Brain
FLAIR MR.
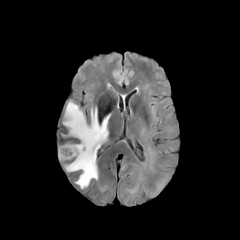
T1-weighted MR.
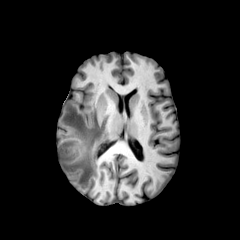
Post-contrast T1-weighted MRI.
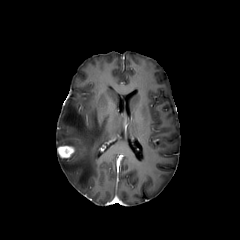
T2-weighted MR.
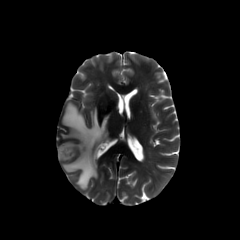
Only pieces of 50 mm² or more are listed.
The enhancing tumor appears at bbox(58, 145, 74, 158). The largest peritumoral edema region appears at bbox(63, 102, 109, 188).